Slice 52 of 155, Head
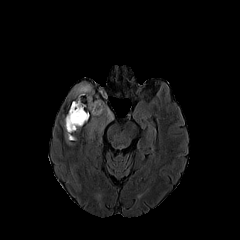
FLAIR magnetic resonance.
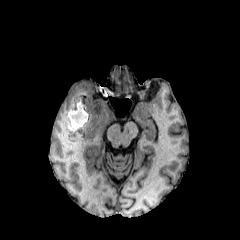
T1-weighted MR.
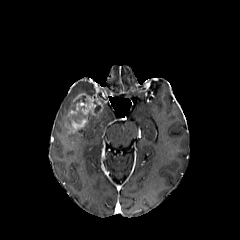
Post-contrast T1-weighted magnetic resonance.
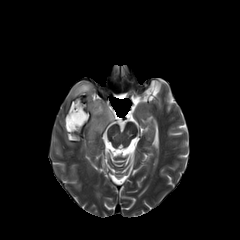
T2-weighted MRI.
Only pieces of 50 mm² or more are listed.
The 2 largest necrotic tumor core regions are located at [72,95,85,110], [67,106,90,125]. The largest enhancing tumor region is located at [65,95,102,133]. The 3 largest peritumoral edema regions are bounded by [88,99,113,133], [63,114,78,144], [69,82,93,98].